Axial slice. Head.
FLAIR MR image.
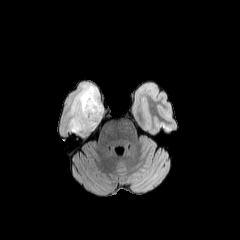
T1-weighted MRI.
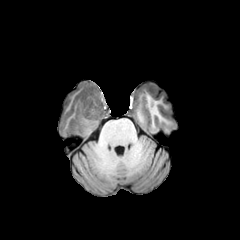
Post-contrast T1-weighted MR.
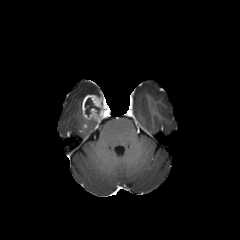
T2-weighted MR.
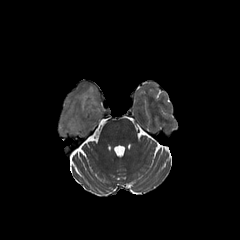
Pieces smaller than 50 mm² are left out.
necrotic tumor core: 84:98:100:116
peritumoral edema: 67:83:99:135
enhancing tumor: 82:95:104:122